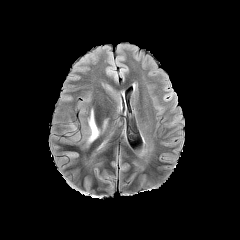
FLAIR MR.
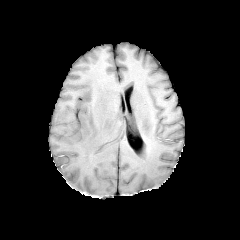
T1-weighted magnetic resonance.
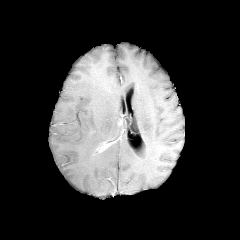
Same slice, post-contrast T1-weighted MR image.
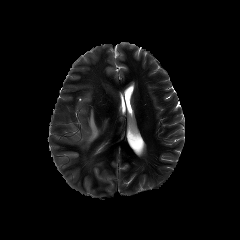
T2-weighted magnetic resonance.
Head
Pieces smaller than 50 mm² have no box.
<segmentation>
  <peritumoral_edema><box>72,132,80,141</box>, <box>83,109,100,145</box></peritumoral_edema>
</segmentation>